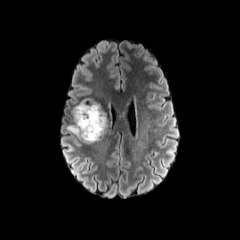
FLAIR MRI.
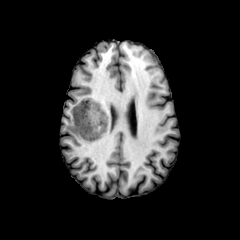
T1-weighted MR image.
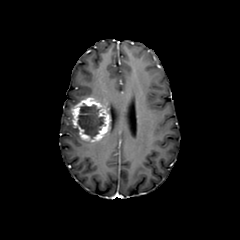
Post-contrast T1-weighted MRI.
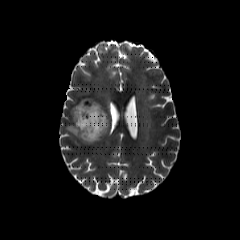
T2-weighted MR image.
Head
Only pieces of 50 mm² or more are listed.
necrotic tumor core: left=78, top=103, right=105, bottom=138 | enhancing tumor: left=71, top=97, right=109, bottom=142 | peritumoral edema: left=66, top=123, right=91, bottom=143